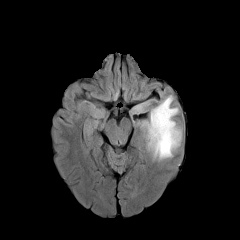
FLAIR MR.
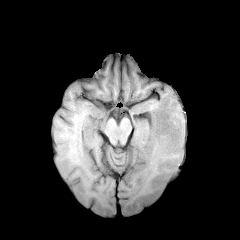
Same slice, T1-weighted MRI.
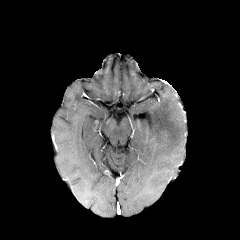
Post-contrast T1-weighted MRI.
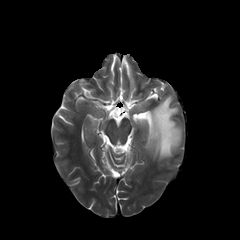
T2-weighted magnetic resonance.
Axial view
<segmentation>
  <peritumoral_edema>region(130, 100, 150, 114); region(138, 95, 181, 160)</peritumoral_edema>
</segmentation>